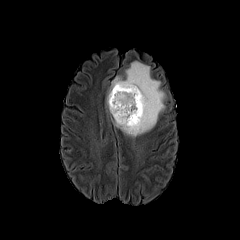
FLAIR magnetic resonance.
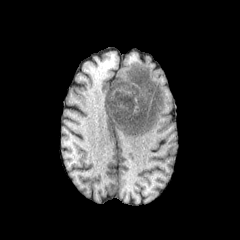
T1-weighted MRI.
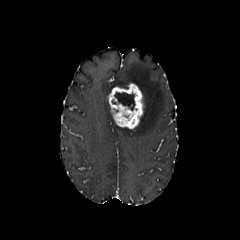
Post-contrast T1-weighted MR image of the same slice.
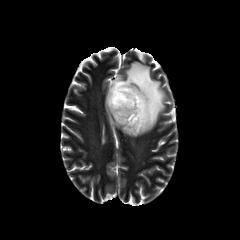
T2-weighted MR image of the same slice.
Brain | Axial slice
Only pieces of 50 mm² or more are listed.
The largest necrotic tumor core region appears at l=114, t=91, r=135, b=110. The largest peritumoral edema region is bounded by l=108, t=61, r=167, b=137. The enhancing tumor is bounded by l=108, t=83, r=143, b=129.